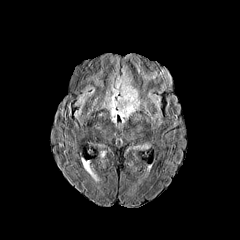
FLAIR magnetic resonance.
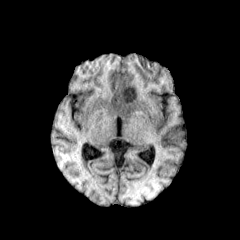
T1-weighted MRI.
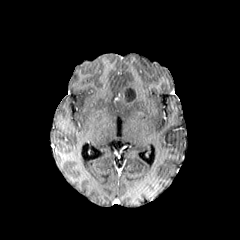
Post-contrast T1-weighted MR image.
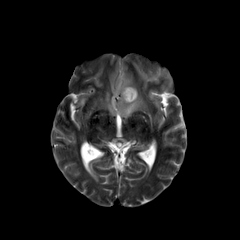
T2-weighted MR image.
240x240. Brain.
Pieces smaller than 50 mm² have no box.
enhancing_tumor:
  - 122 82 138 105
necrotic_tumor_core:
  - 125 88 135 102
peritumoral_edema:
  - 104 68 140 123